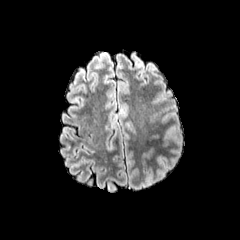
FLAIR magnetic resonance.
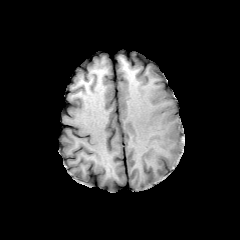
T1-weighted MRI of the same slice.
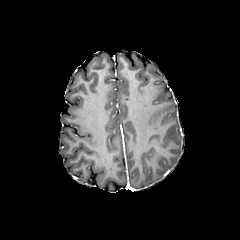
Same slice, post-contrast T1-weighted magnetic resonance.
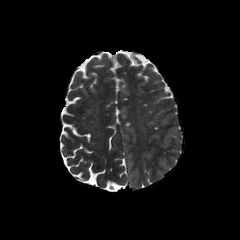
T2-weighted magnetic resonance of the same slice.
peritumoral edema = 157:156:167:164